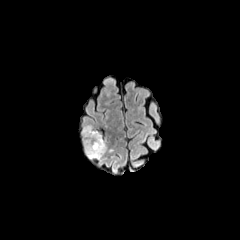
FLAIR MR.
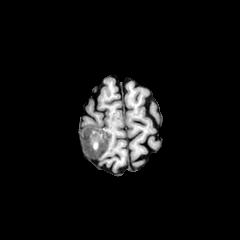
T1-weighted MR image.
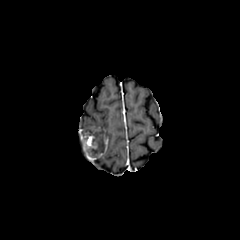
Same slice, post-contrast T1-weighted MR.
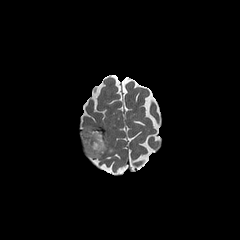
T2-weighted magnetic resonance.
Axial slice. Head. Image size 240x240.
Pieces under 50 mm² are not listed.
<segmentation>
  <peritumoral_edema>box(82, 125, 93, 136)</peritumoral_edema>
  <necrotic_tumor_core>box(89, 132, 105, 154)</necrotic_tumor_core>
  <enhancing_tumor>box(83, 130, 107, 158)</enhancing_tumor>
</segmentation>